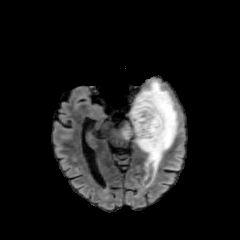
FLAIR magnetic resonance.
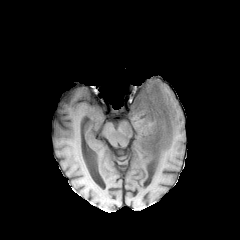
T1-weighted MR image.
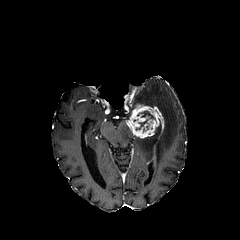
Post-contrast T1-weighted magnetic resonance.
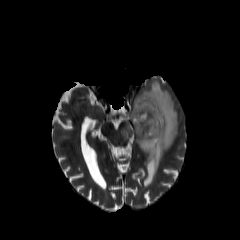
T2-weighted MR image of the same slice.
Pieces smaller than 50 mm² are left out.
enhancing tumor — x1=126 y1=104 x2=164 y2=187
peritumoral edema — x1=120 y1=79 x2=178 y2=189
necrotic tumor core — x1=136 y1=111 x2=155 y2=129